Axial plane
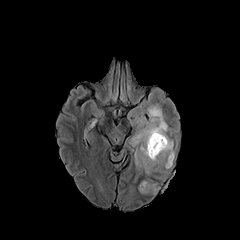
FLAIR MR image.
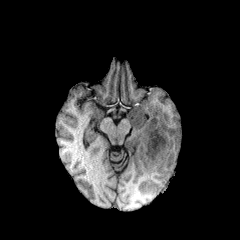
T1-weighted MR image.
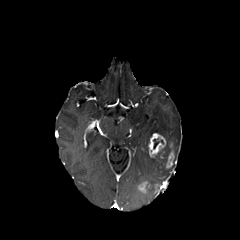
Post-contrast T1-weighted MR.
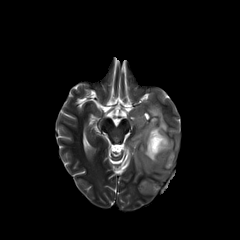
T2-weighted MRI.
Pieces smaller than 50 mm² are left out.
<segmentation>
  <peritumoral_edema>l=131, t=89, r=176, b=181</peritumoral_edema>
  <necrotic_tumor_core>l=153, t=138, r=163, b=148</necrotic_tumor_core>
  <enhancing_tumor>l=138, t=181, r=151, b=193; l=148, t=133, r=167, b=157; l=166, t=151, r=174, b=168</enhancing_tumor>
</segmentation>